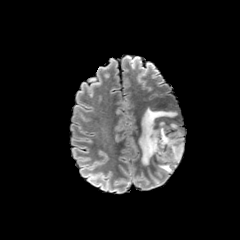
FLAIR MRI.
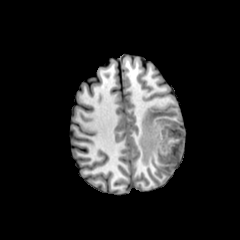
Same slice, T1-weighted magnetic resonance.
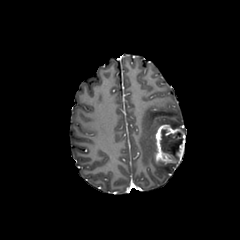
Same slice, post-contrast T1-weighted magnetic resonance.
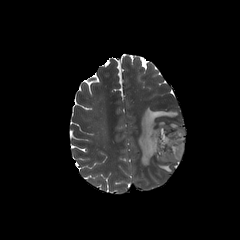
T2-weighted MR of the same slice.
Head, Axial plane
enhancing tumor — rect(155, 124, 185, 163)
peritumoral edema — rect(169, 122, 184, 131); rect(158, 162, 177, 172); rect(138, 107, 177, 164)
necrotic tumor core — rect(160, 129, 182, 159)